FLAIR magnetic resonance.
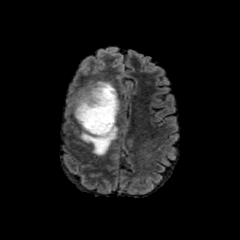
T1-weighted MRI.
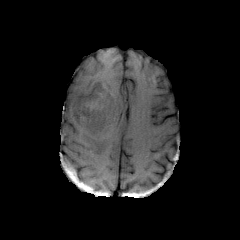
Post-contrast T1-weighted MR.
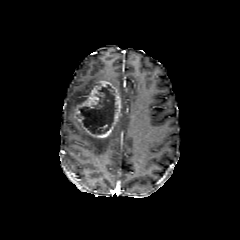
T2-weighted MR image.
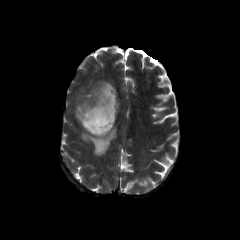
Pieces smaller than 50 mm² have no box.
enhancing_tumor:
  - <box>74,80,120,138</box>
peritumoral_edema:
  - <box>68,80,98,114</box>
  - <box>80,125,117,155</box>
necrotic_tumor_core:
  - <box>79,84,116,134</box>